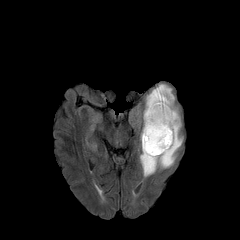
FLAIR MR.
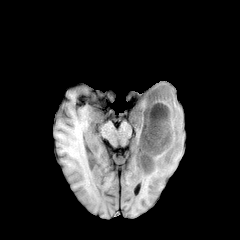
T1-weighted MR.
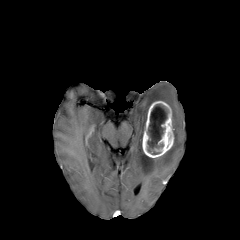
Post-contrast T1-weighted MR image of the same slice.
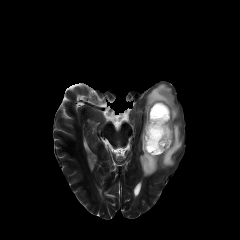
T2-weighted MR of the same slice.
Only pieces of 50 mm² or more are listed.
{"peritumoral_edema": ["(139,83,182,177)"], "enhancing_tumor": ["(142,101,174,157)"], "necrotic_tumor_core": ["(147,104,167,154)"]}